FLAIR MR.
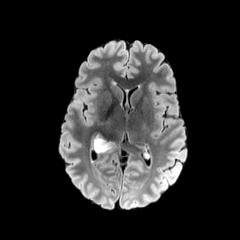
T1-weighted MRI.
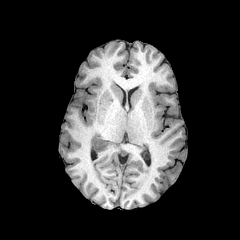
Post-contrast T1-weighted MR.
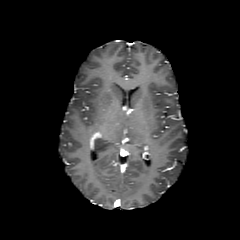
T2-weighted MR image.
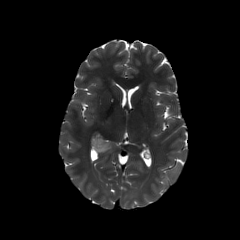
Axial plane | Head
Annotated regions:
• peritumoral edema: 91, 127, 120, 153